FLAIR MR.
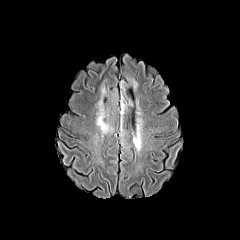
T1-weighted MRI.
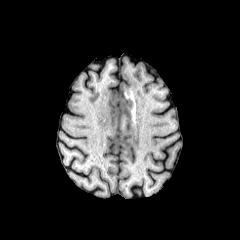
Post-contrast T1-weighted MR.
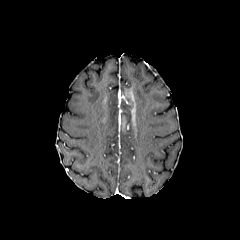
T2-weighted MR image.
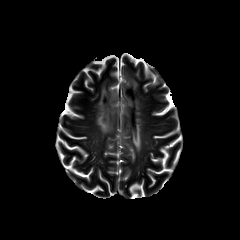
Image size 240x240
The peritumoral edema appears at bbox=[96, 67, 142, 152].